Slice 107/155. Axial view. Image size 240x240.
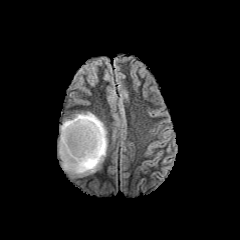
FLAIR MR.
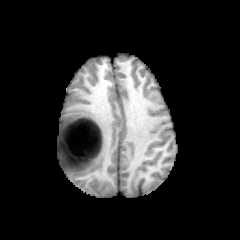
Same slice, T1-weighted MR.
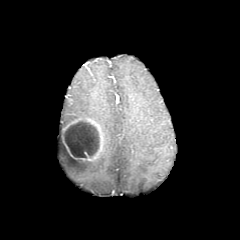
Same slice, post-contrast T1-weighted MR.
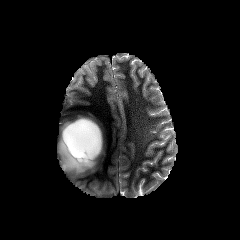
T2-weighted MRI.
{
  "necrotic_tumor_core": [
    "<box>64,120,99,158</box>"
  ],
  "peritumoral_edema": [
    "<box>58,112,107,176</box>"
  ],
  "enhancing_tumor": [
    "<box>62,118,103,160</box>"
  ]
}